Image covers 240 mm x 240 mm, 240x240 px
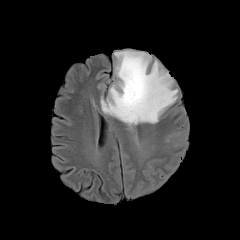
FLAIR MRI.
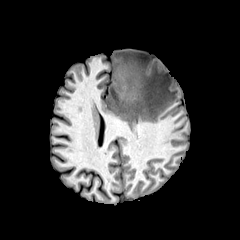
T1-weighted MRI.
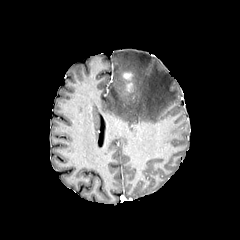
Same slice, post-contrast T1-weighted MRI.
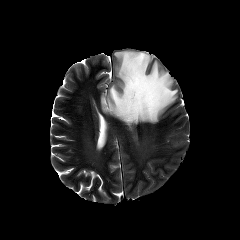
T2-weighted MR image of the same slice.
Findings:
• peritumoral edema: [166, 130, 187, 147], [101, 50, 178, 145]
• enhancing tumor: [126, 83, 133, 93], [122, 72, 133, 81]